240x240. Head.
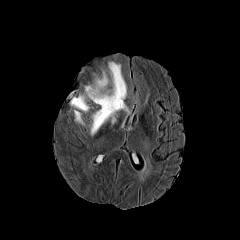
FLAIR MR image.
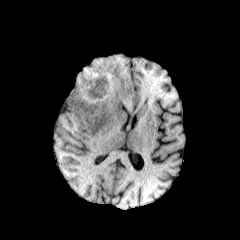
T1-weighted magnetic resonance.
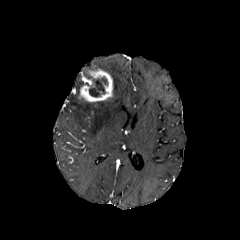
Post-contrast T1-weighted MR of the same slice.
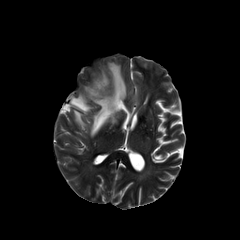
T2-weighted MR image of the same slice.
peritumoral edema — bbox(90, 62, 127, 135); bbox(74, 110, 84, 125); bbox(70, 95, 89, 112)
necrotic tumor core — bbox(87, 75, 108, 97)
enhancing tumor — bbox(78, 69, 112, 101)